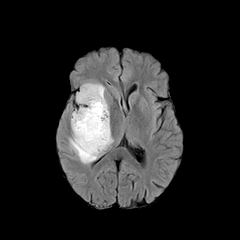
FLAIR MRI.
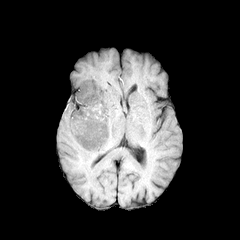
T1-weighted MR.
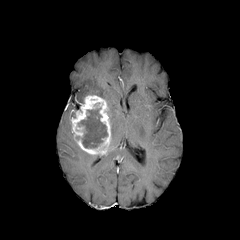
Post-contrast T1-weighted MR image.
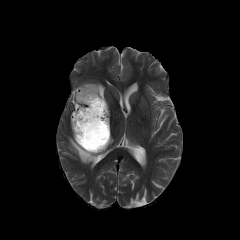
T2-weighted MRI of the same slice.
Brain, Image size 240x240
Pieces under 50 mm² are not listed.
- necrotic tumor core: left=78, top=108, right=107, bottom=148
- peritumoral edema: left=69, top=133, right=97, bottom=163; left=76, top=82, right=107, bottom=103
- enhancing tumor: left=69, top=95, right=110, bottom=154